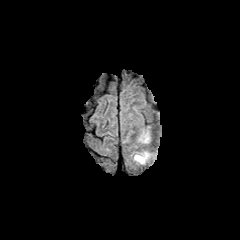
FLAIR MRI.
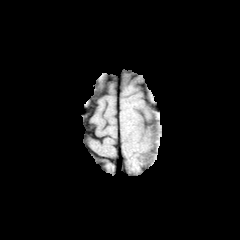
T1-weighted MR image.
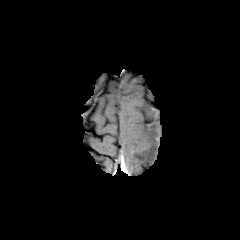
Post-contrast T1-weighted MRI.
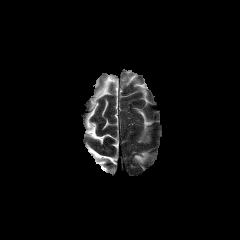
T2-weighted MR image of the same slice.
Brain
2 peritumoral edema regions appear at [x1=134, y1=152, x2=150, y2=163], [x1=139, y1=132, x2=149, y2=142].